FLAIR MR image.
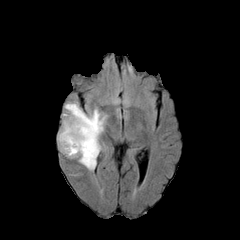
T1-weighted MRI.
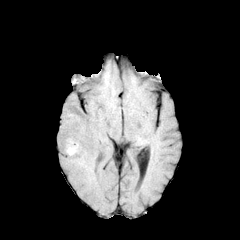
Post-contrast T1-weighted MRI.
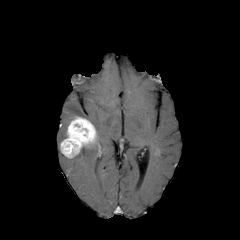
T2-weighted MR image.
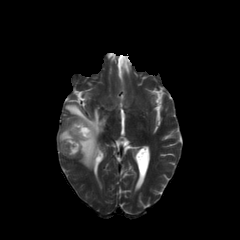
Head; 240x240 px
The peritumoral edema lies within 57 101 106 170. The enhancing tumor is bounded by 60 116 97 158.